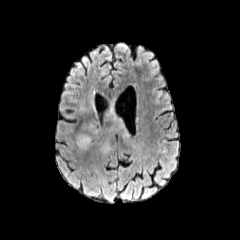
FLAIR MRI.
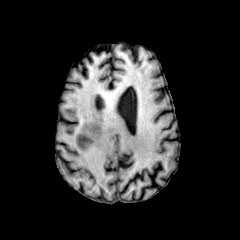
T1-weighted MR image.
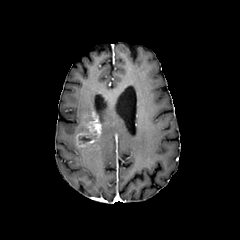
Post-contrast T1-weighted MR.
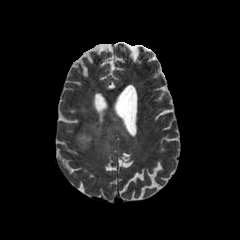
T2-weighted magnetic resonance.
Head
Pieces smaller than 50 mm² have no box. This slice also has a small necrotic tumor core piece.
enhancing tumor — <box>76,112,100,150</box>
peritumoral edema — <box>99,111,138,154</box>